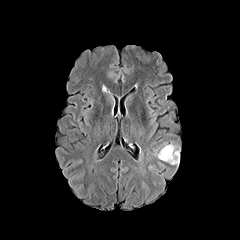
FLAIR MR image.
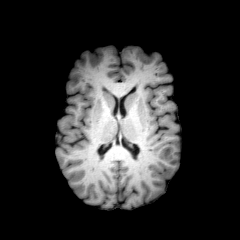
T1-weighted magnetic resonance.
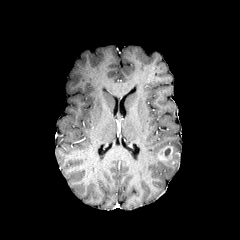
Same slice, post-contrast T1-weighted MR.
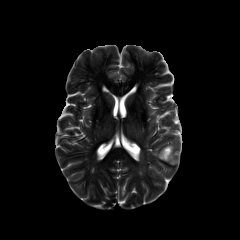
T2-weighted MR of the same slice.
Brain | Axial plane
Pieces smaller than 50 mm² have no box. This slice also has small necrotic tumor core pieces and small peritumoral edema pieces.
The enhancing tumor is located at (left=158, top=145, right=179, bottom=164).